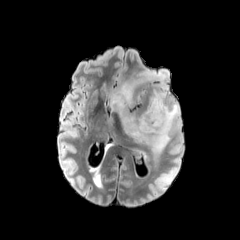
FLAIR MR image.
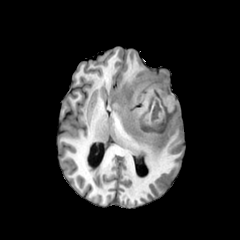
T1-weighted MR image.
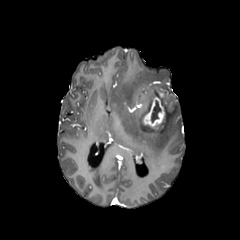
Post-contrast T1-weighted MR.
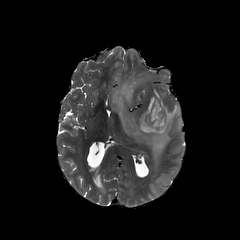
T2-weighted MR.
Axial plane, Brain
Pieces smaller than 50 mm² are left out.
{"enhancing_tumor": ["[143, 95, 165, 128]"], "necrotic_tumor_core": ["[151, 100, 161, 122]"], "peritumoral_edema": ["[109, 68, 180, 156]"]}